Image width 240 mm, Slice 61/155
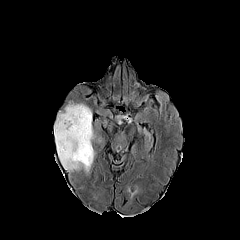
FLAIR magnetic resonance.
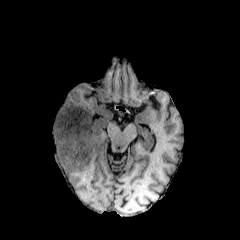
T1-weighted MR.
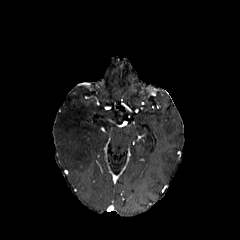
Post-contrast T1-weighted magnetic resonance of the same slice.
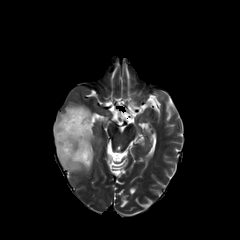
T2-weighted MR image.
peritumoral edema = bbox(54, 103, 94, 171)